Image covers 240 mm x 240 mm
FLAIR MR image.
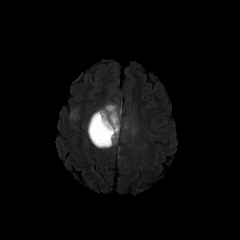
T1-weighted magnetic resonance.
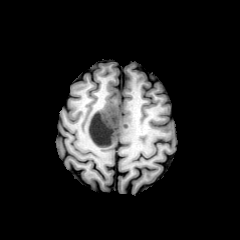
Post-contrast T1-weighted MRI.
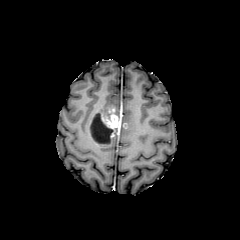
T2-weighted MR.
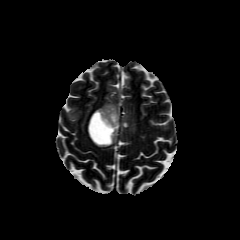
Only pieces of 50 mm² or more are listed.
<segmentation>
  <enhancing_tumor>(left=88, top=111, right=105, bottom=146), (left=101, top=107, right=121, bottom=138)</enhancing_tumor>
  <necrotic_tumor_core>(left=90, top=112, right=113, bottom=144)</necrotic_tumor_core>
  <peritumoral_edema>(left=91, top=132, right=118, bottom=148), (left=69, top=108, right=78, bottom=118), (left=97, top=103, right=119, bottom=117)</peritumoral_edema>
</segmentation>